Axial slice
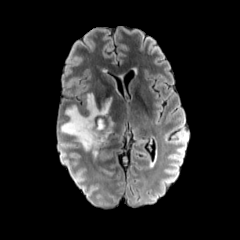
FLAIR magnetic resonance.
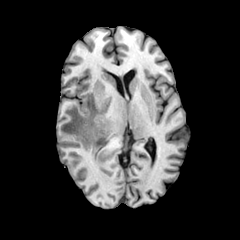
Same slice, T1-weighted MR image.
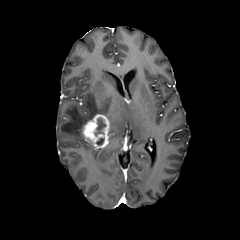
Same slice, post-contrast T1-weighted MR.
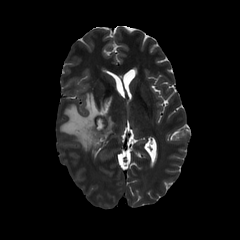
T2-weighted MR image of the same slice.
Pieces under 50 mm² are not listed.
peritumoral_edema:
  - left=60, top=93, right=112, bottom=155
  - left=108, top=118, right=115, bottom=134
enhancing_tumor:
  - left=81, top=114, right=110, bottom=149
necrotic_tumor_core:
  - left=94, top=118, right=105, bottom=135